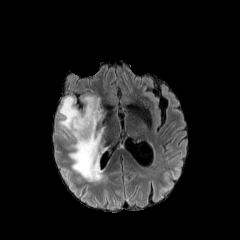
FLAIR MR image.
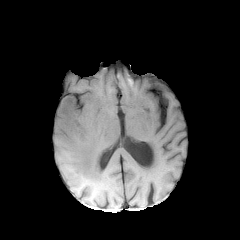
T1-weighted MR of the same slice.
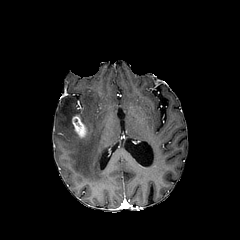
Same slice, post-contrast T1-weighted magnetic resonance.
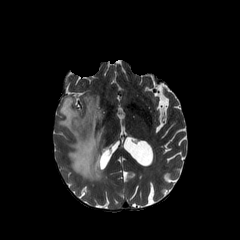
T2-weighted MR image.
240x240; Brain
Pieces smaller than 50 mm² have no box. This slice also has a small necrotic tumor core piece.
enhancing tumor: bounding box bbox=[72, 114, 88, 139]
peritumoral edema: bounding box bbox=[58, 95, 107, 181]